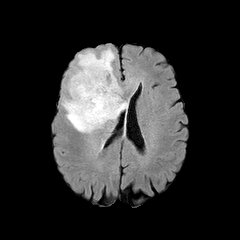
FLAIR MR image.
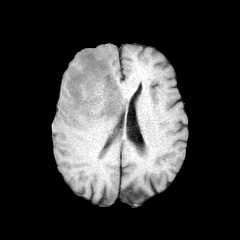
Same slice, T1-weighted MR image.
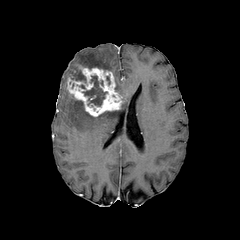
Post-contrast T1-weighted magnetic resonance.
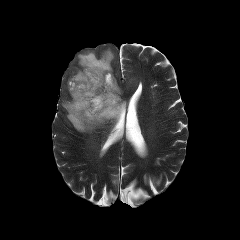
T2-weighted MR image.
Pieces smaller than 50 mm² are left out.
Annotated regions:
- necrotic tumor core: [83,76,106,106]
- enhancing tumor: [67,67,123,116]
- peritumoral edema: [114,76,121,94], [62,98,127,132], [69,48,114,82]